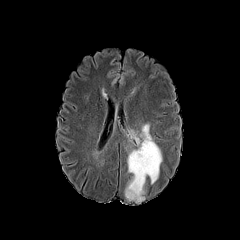
FLAIR MRI.
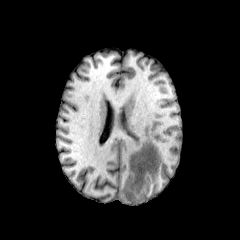
T1-weighted magnetic resonance of the same slice.
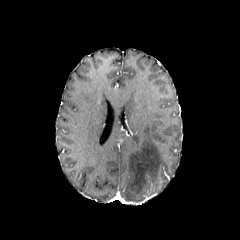
Post-contrast T1-weighted magnetic resonance.
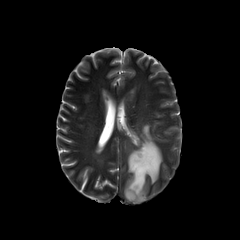
T2-weighted magnetic resonance.
Brain.
peritumoral_edema:
  - 101:87:108:101
  - 124:121:162:203